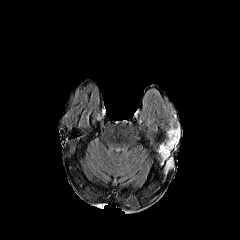
FLAIR MR image.
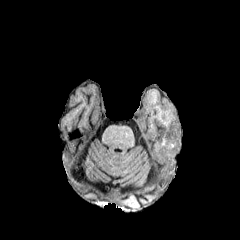
Same slice, T1-weighted magnetic resonance.
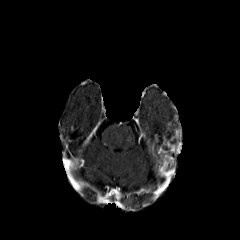
Post-contrast T1-weighted MR image.
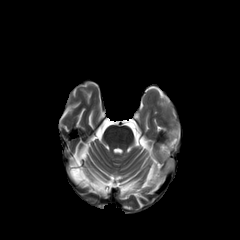
T2-weighted MR image.
Brain | 240x240 px
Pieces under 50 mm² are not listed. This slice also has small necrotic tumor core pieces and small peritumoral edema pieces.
The enhancing tumor appears at [157,115,181,171].